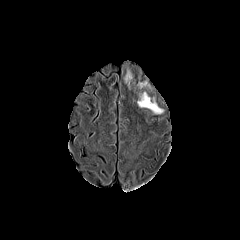
FLAIR magnetic resonance.
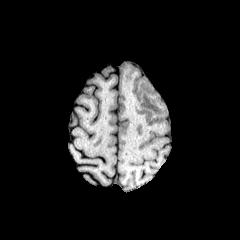
T1-weighted magnetic resonance.
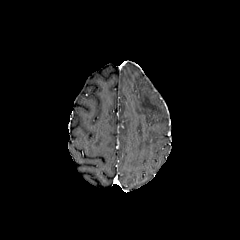
Same slice, post-contrast T1-weighted MR image.
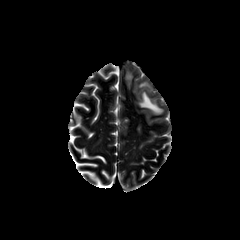
T2-weighted magnetic resonance.
Image size 240x240 | Brain | Axial view
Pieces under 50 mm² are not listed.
peritumoral_edema:
  - box(137, 92, 162, 113)